FLAIR MR.
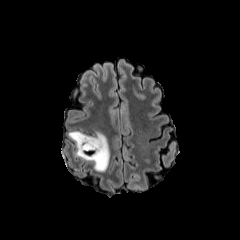
T1-weighted MR image.
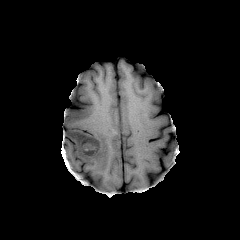
Post-contrast T1-weighted MR.
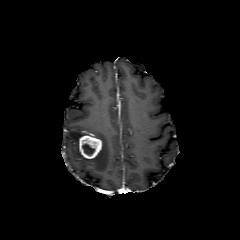
T2-weighted MR.
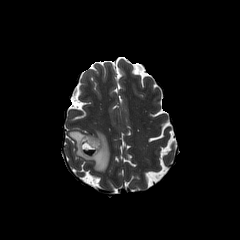
Image size 240x240, Axial plane
The enhancing tumor is located at region(79, 135, 102, 158). The peritumoral edema appears at region(68, 130, 110, 171). The necrotic tumor core appears at region(82, 144, 94, 155).